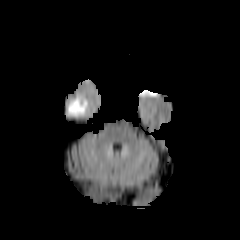
FLAIR magnetic resonance.
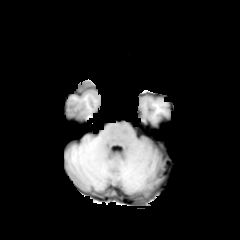
T1-weighted MR of the same slice.
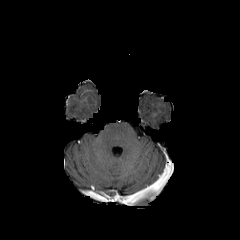
Post-contrast T1-weighted MRI.
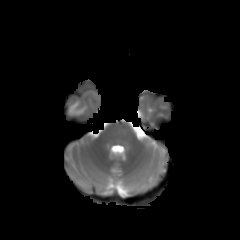
T2-weighted MRI of the same slice.
Image size 240x240, Brain
peritumoral edema — <bbox>69, 95, 87, 114</bbox>